FLAIR magnetic resonance.
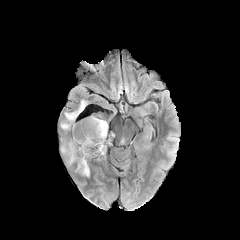
T1-weighted MR image.
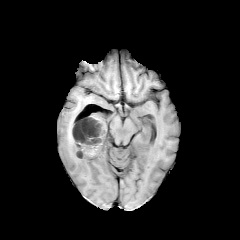
Post-contrast T1-weighted magnetic resonance.
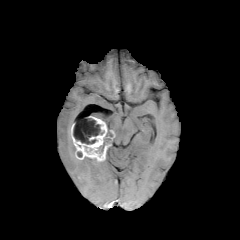
T2-weighted MRI.
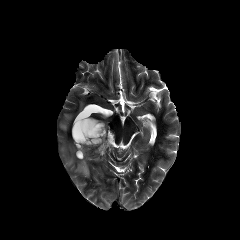
Axial plane | 240x240 px
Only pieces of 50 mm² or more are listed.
The 3 largest peritumoral edema regions are bounded by left=77, top=157, right=90, bottom=176; left=61, top=142, right=76, bottom=164; left=60, top=101, right=85, bottom=130. The enhancing tumor is located at left=71, top=116, right=115, bottom=161. The 2 largest necrotic tumor core regions appear at left=98, top=133, right=112, bottom=153; left=73, top=118, right=104, bottom=144.